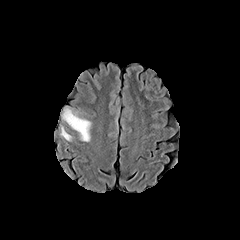
FLAIR MR image.
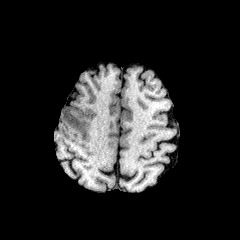
Same slice, T1-weighted MR.
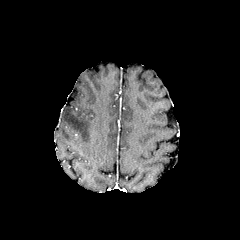
Same slice, post-contrast T1-weighted magnetic resonance.
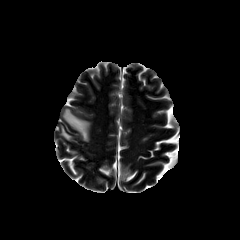
Same slice, T2-weighted MR image.
240x240 px, Axial plane
peritumoral edema: [62,108,91,141], [60,126,71,140]